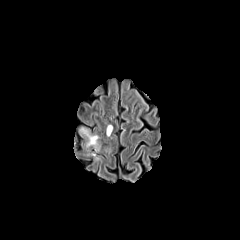
FLAIR MRI.
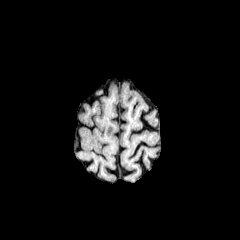
T1-weighted MR image of the same slice.
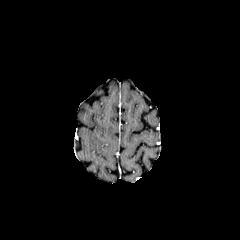
Same slice, post-contrast T1-weighted magnetic resonance.
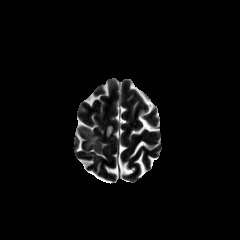
T2-weighted MRI.
Brain
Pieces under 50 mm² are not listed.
Segmented structures:
- peritumoral edema: 106:125:112:136, 80:128:98:150